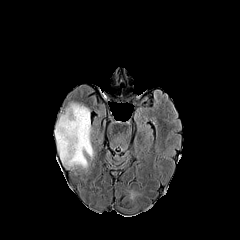
FLAIR MRI.
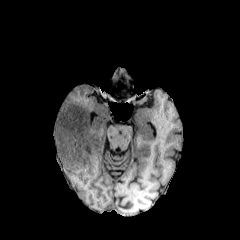
T1-weighted MRI.
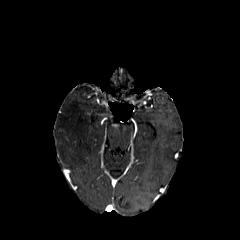
Post-contrast T1-weighted MR.
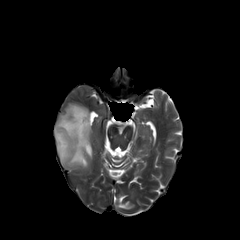
T2-weighted magnetic resonance of the same slice.
Brain
The peritumoral edema is bounded by (x1=54, y1=102, x2=93, y2=168).